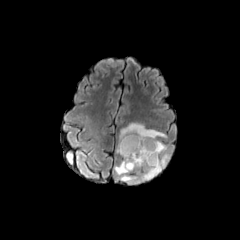
FLAIR MR image.
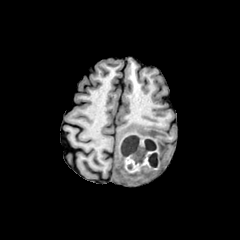
T1-weighted MRI of the same slice.
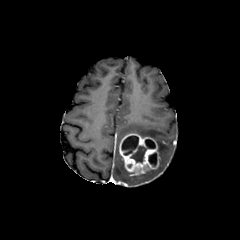
Post-contrast T1-weighted magnetic resonance of the same slice.
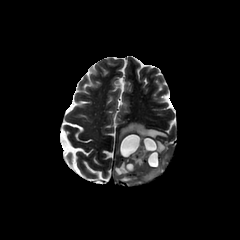
T2-weighted magnetic resonance.
Image size 240x240.
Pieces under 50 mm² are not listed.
enhancing tumor: (x1=119, y1=133, x2=159, y2=175) | necrotic tumor core: (x1=121, y1=135, x2=155, y2=162), (x1=148, y1=153, x2=157, y2=166) | peritumoral edema: (x1=114, y1=122, x2=169, y2=183)